FLAIR MR image.
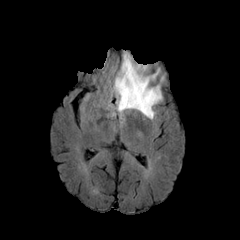
T1-weighted MR image.
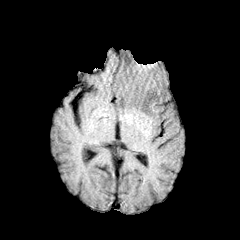
Post-contrast T1-weighted MR image.
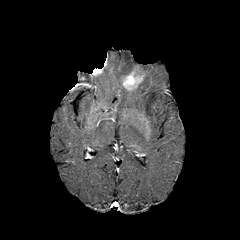
T2-weighted MRI.
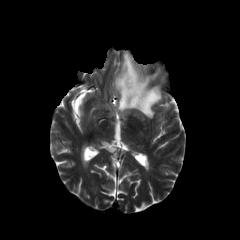
Axial slice. 240x240. Head.
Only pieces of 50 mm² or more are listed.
The largest peritumoral edema region is bounded by [113,52,162,119]. The enhancing tumor is at [122,70,143,90].